FLAIR MR image.
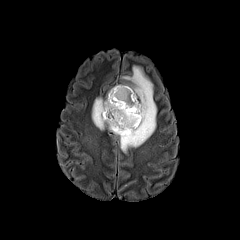
T1-weighted MRI.
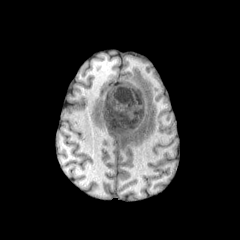
Post-contrast T1-weighted MR.
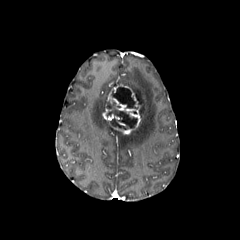
T2-weighted MRI.
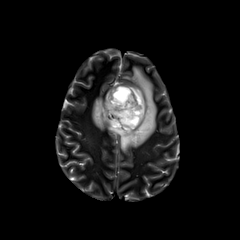
Brain
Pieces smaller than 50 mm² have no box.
The 3 largest necrotic tumor core regions appear at (x1=106, y1=109, x2=137, y2=129), (x1=107, y1=100, x2=115, y2=108), (x1=111, y1=87, x2=137, y2=108). The enhancing tumor is at (x1=102, y1=84, x2=140, y2=134). The largest peritumoral edema region is at (x1=92, y1=66, x2=156, y2=152).